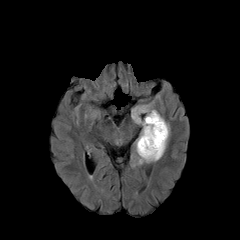
FLAIR magnetic resonance.
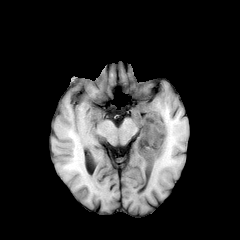
T1-weighted MR image.
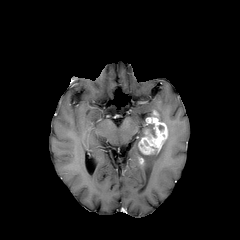
Post-contrast T1-weighted MRI.
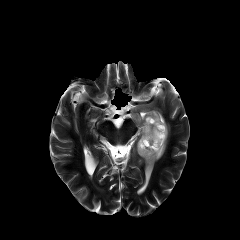
T2-weighted magnetic resonance of the same slice.
Head | 240x240 px
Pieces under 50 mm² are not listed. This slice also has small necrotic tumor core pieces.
Annotated regions:
• peritumoral edema: left=131, top=105, right=169, bottom=167
• enhancing tumor: left=138, top=110, right=167, bottom=154